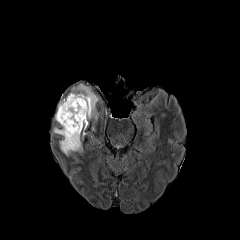
FLAIR magnetic resonance.
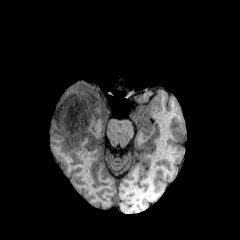
Same slice, T1-weighted magnetic resonance.
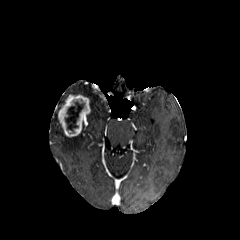
Post-contrast T1-weighted magnetic resonance of the same slice.
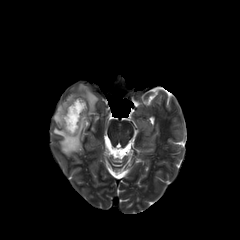
T2-weighted MR.
Axial plane
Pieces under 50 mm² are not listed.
<segmentation>
  <peritumoral_edema>left=69, top=84, right=98, bottom=119; left=53, top=127, right=86, bottom=156</peritumoral_edema>
  <necrotic_tumor_core>left=65, top=100, right=84, bottom=132</necrotic_tumor_core>
  <enhancing_tumor>left=58, top=94, right=90, bottom=137</enhancing_tumor>
</segmentation>